FLAIR MR image.
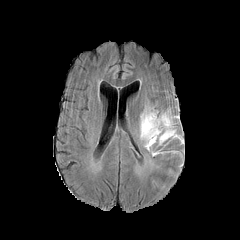
T1-weighted magnetic resonance.
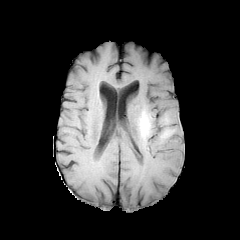
Post-contrast T1-weighted MR.
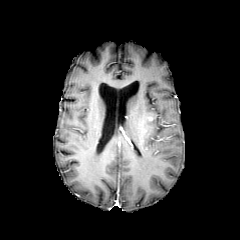
T2-weighted MRI.
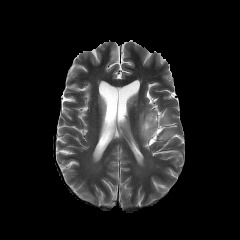
Brain, 240x240 px, Axial view
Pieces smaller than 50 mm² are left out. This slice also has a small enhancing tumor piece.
Annotated regions:
* peritumoral edema: x1=140 y1=112 x2=180 y2=149